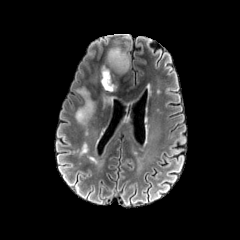
FLAIR magnetic resonance.
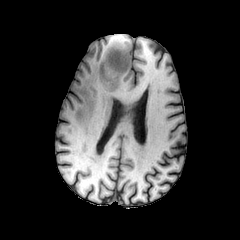
Same slice, T1-weighted MR image.
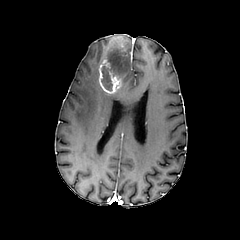
Post-contrast T1-weighted MR.
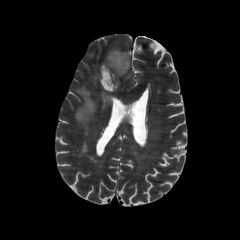
Same slice, T2-weighted MR image.
Axial view, Brain
The enhancing tumor lies within <bbox>99, 57, 121, 93</bbox>. 3 peritumoral edema regions appear at <bbox>102, 92, 113, 105</bbox>, <bbox>75, 88, 95, 134</bbox>, <bbox>106, 46, 129, 75</bbox>. The necrotic tumor core is bounded by <bbox>102, 66, 112, 90</bbox>.